Image size 240x240
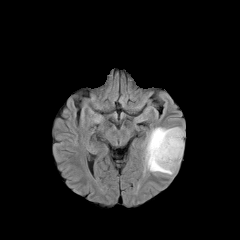
FLAIR MRI.
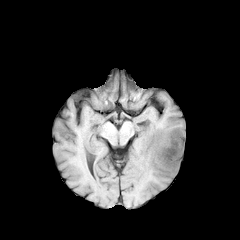
Same slice, T1-weighted MR.
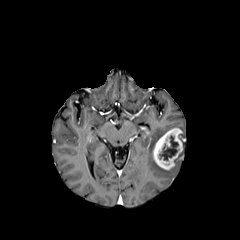
Post-contrast T1-weighted MRI of the same slice.
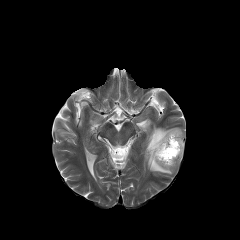
T2-weighted MR image.
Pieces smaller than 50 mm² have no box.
peritumoral edema: 145,127,182,174 | necrotic tumor core: 159,135,178,160 | enhancing tumor: 152,128,183,170